FLAIR magnetic resonance.
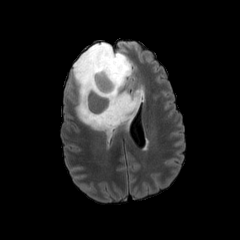
T1-weighted MR image.
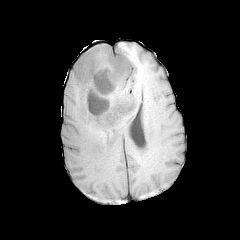
Post-contrast T1-weighted MR.
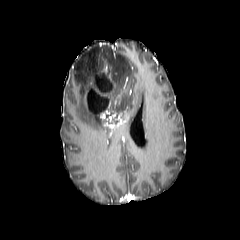
T2-weighted MR image.
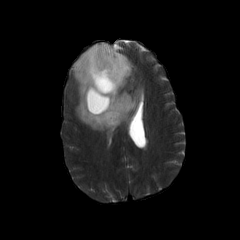
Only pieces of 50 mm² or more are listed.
The largest peritumoral edema region lies within region(72, 42, 141, 135). The enhancing tumor lies within region(85, 58, 127, 128). 2 necrotic tumor core regions are located at region(87, 89, 108, 114); region(95, 74, 112, 91).